FLAIR MR image.
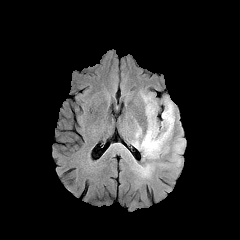
T1-weighted magnetic resonance.
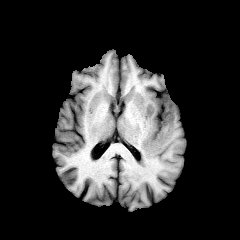
Post-contrast T1-weighted magnetic resonance.
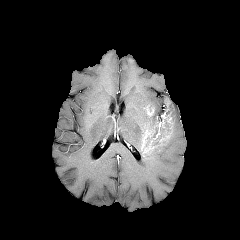
T2-weighted MR image.
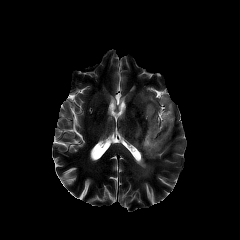
240x240 px, Axial slice
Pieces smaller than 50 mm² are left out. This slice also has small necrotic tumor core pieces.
enhancing tumor at bbox(146, 105, 154, 117); bbox(141, 98, 172, 152)
peritumoral edema at bbox(162, 100, 174, 135); bbox(174, 143, 183, 151); bbox(132, 126, 169, 176); bbox(141, 94, 161, 129)